Head, Slice 38 of 155
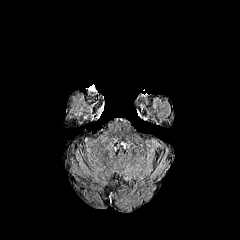
FLAIR MR image.
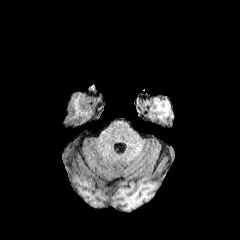
T1-weighted magnetic resonance.
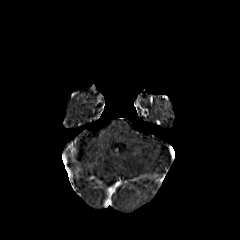
Post-contrast T1-weighted MRI of the same slice.
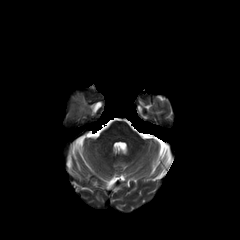
T2-weighted MR image.
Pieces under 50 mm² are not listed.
peritumoral edema: [71,100,90,111]